FLAIR MR.
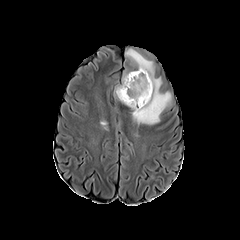
T1-weighted MR.
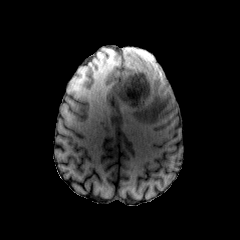
Post-contrast T1-weighted MR.
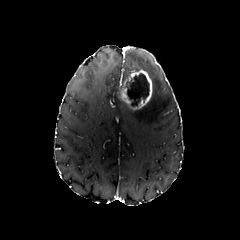
T2-weighted MRI.
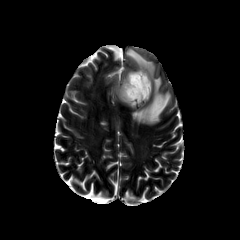
Axial plane
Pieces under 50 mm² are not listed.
• enhancing tumor: rect(118, 70, 152, 109)
• peritumoral edema: rect(131, 52, 151, 70); rect(131, 78, 170, 124)
• necrotic tumor core: rect(126, 73, 149, 106)